Axial slice
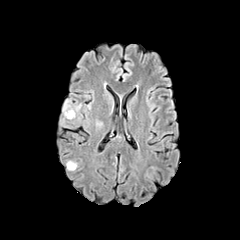
FLAIR MR.
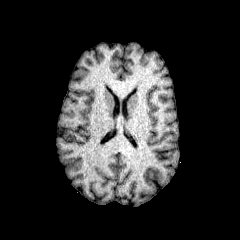
T1-weighted MR of the same slice.
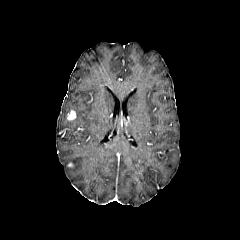
Post-contrast T1-weighted magnetic resonance.
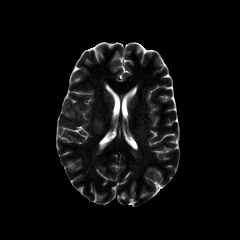
T2-weighted magnetic resonance of the same slice.
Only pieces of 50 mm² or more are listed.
{"peritumoral_edema": ["(x1=66, y1=160, x2=77, y2=170)", "(x1=62, y1=100, x2=81, y2=120)"], "enhancing_tumor": ["(x1=67, y1=110, x2=76, y2=120)"]}